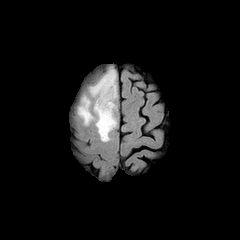
FLAIR magnetic resonance.
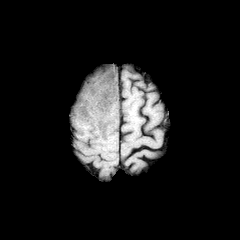
T1-weighted magnetic resonance.
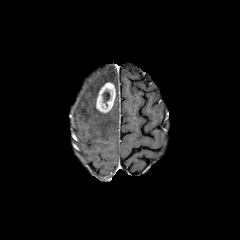
Post-contrast T1-weighted magnetic resonance of the same slice.
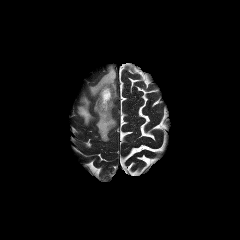
T2-weighted MR.
{
  "peritumoral_edema": [
    "left=93, top=100, right=116, bottom=141",
    "left=78, top=96, right=94, bottom=124",
    "left=89, top=67, right=116, bottom=98"
  ],
  "necrotic_tumor_core": [
    "left=103, top=91, right=109, bottom=102"
  ],
  "enhancing_tumor": [
    "left=96, top=82, right=115, bottom=113"
  ]
}